Slice index 103; Axial plane
FLAIR MR.
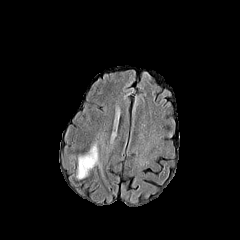
T1-weighted MR.
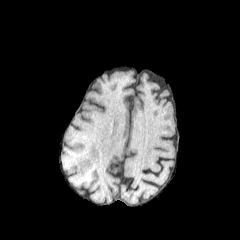
Post-contrast T1-weighted magnetic resonance.
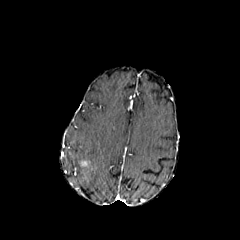
T2-weighted MRI.
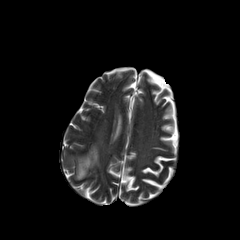
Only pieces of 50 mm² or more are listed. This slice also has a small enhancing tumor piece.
peritumoral edema: rect(77, 144, 102, 179)